Slice 52 of 155; Axial view; Brain
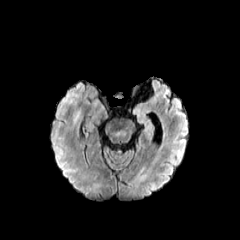
FLAIR MRI.
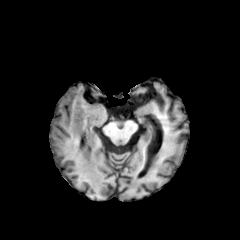
Same slice, T1-weighted MRI.
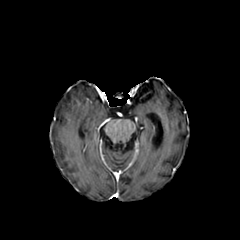
Post-contrast T1-weighted MRI.
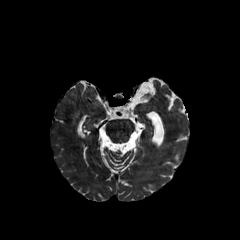
T2-weighted MR image.
The peritumoral edema is bounded by box=[74, 111, 80, 123].